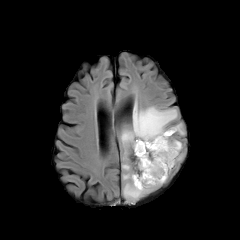
FLAIR MRI.
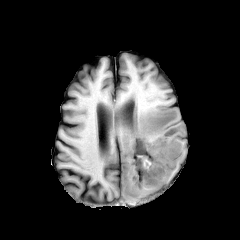
Same slice, T1-weighted MR.
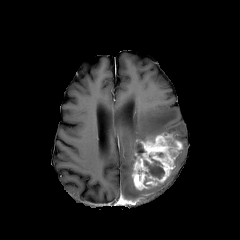
Same slice, post-contrast T1-weighted MR.
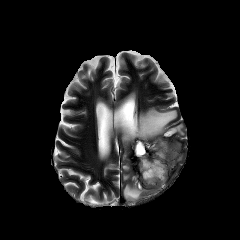
T2-weighted MRI.
Image size 240x240. Brain.
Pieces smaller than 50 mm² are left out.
peritumoral edema: [x1=121, y1=103, x2=184, y2=160], [x1=122, y1=163, x2=155, y2=201] | enhancing tumor: [x1=132, y1=133, x2=182, y2=190] | necrotic tumor core: [x1=144, y1=159, x2=164, y2=178], [x1=136, y1=144, x2=144, y2=154]